FLAIR MR.
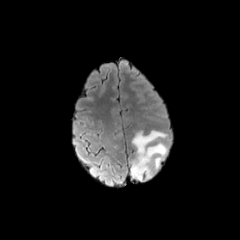
T1-weighted MR image.
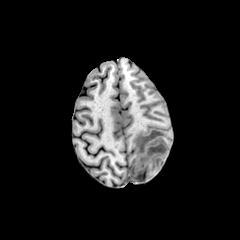
Post-contrast T1-weighted MR.
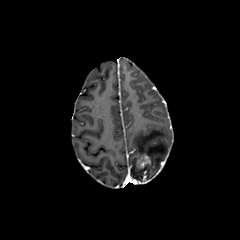
T2-weighted magnetic resonance.
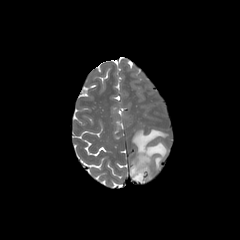
Axial plane | Brain
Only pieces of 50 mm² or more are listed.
enhancing tumor at x1=137, y1=154, x2=150, y2=168
peritumoral edema at x1=131, y1=130, x2=167, y2=180